FLAIR magnetic resonance.
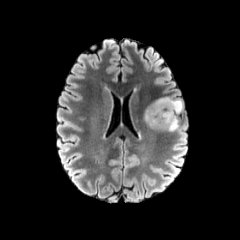
T1-weighted MR image.
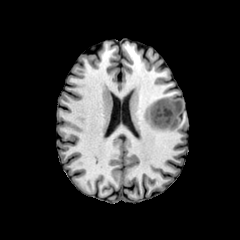
Post-contrast T1-weighted MR image.
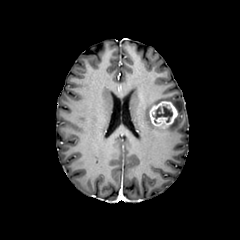
T2-weighted MR image.
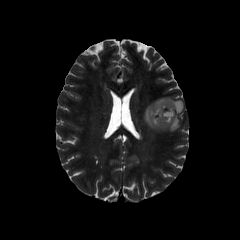
Brain.
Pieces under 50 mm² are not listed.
enhancing tumor: x1=149 y1=101 x2=177 y2=128 | peritumoral edema: x1=144 y1=97 x2=183 y2=128, x1=166 y1=116 x2=179 y2=131 | necrotic tumor core: x1=153 y1=106 x2=172 y2=122